FLAIR MR.
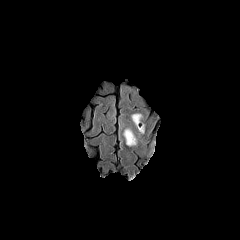
T1-weighted MR.
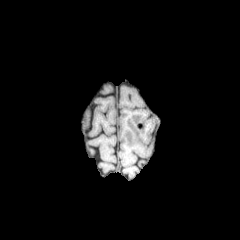
Post-contrast T1-weighted MR image.
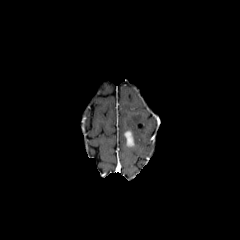
T2-weighted MR image.
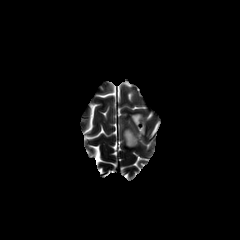
Brain
Annotated regions:
- enhancing tumor: box(124, 130, 134, 146)
- peritumoral edema: box(123, 128, 137, 145)